FLAIR MR.
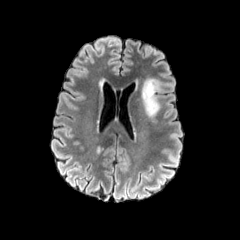
T1-weighted MRI.
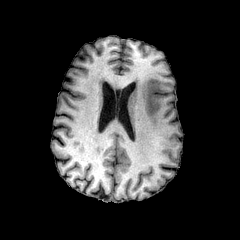
Post-contrast T1-weighted MR.
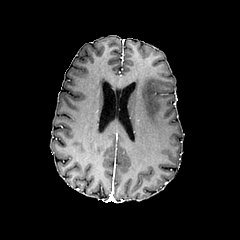
T2-weighted MRI.
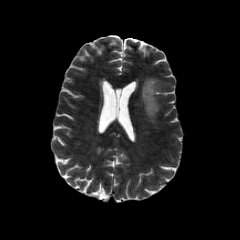
Brain
The peritumoral edema is bounded by bbox=[141, 78, 160, 122].